Image width 240 mm, 1.00 mm slice spacing, Slice 91 of 155
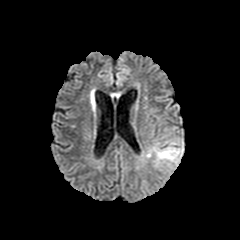
FLAIR MRI.
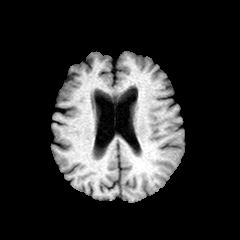
Same slice, T1-weighted magnetic resonance.
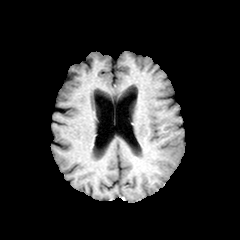
Same slice, post-contrast T1-weighted MRI.
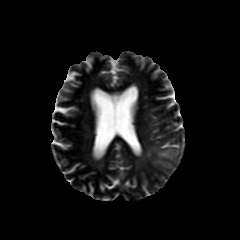
T2-weighted MR.
peritumoral_edema:
  - 147,140,183,168